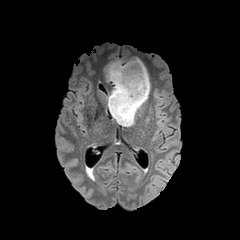
FLAIR MR image.
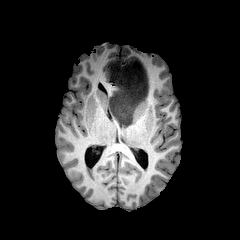
T1-weighted magnetic resonance.
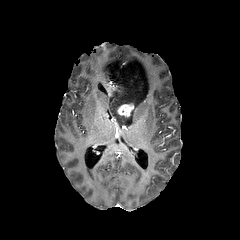
Post-contrast T1-weighted MRI.
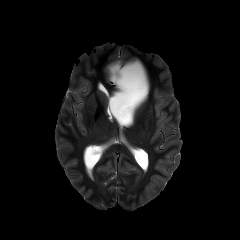
Same slice, T2-weighted MR.
Brain. Image size 240x240.
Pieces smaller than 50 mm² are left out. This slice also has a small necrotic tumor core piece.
<segmentation>
  <peritumoral_edema>{"x1": 104, "y1": 58, "x2": 150, "y2": 126}</peritumoral_edema>
  <enhancing_tumor>{"x1": 117, "y1": 103, "x2": 134, "y2": 117}</enhancing_tumor>
</segmentation>